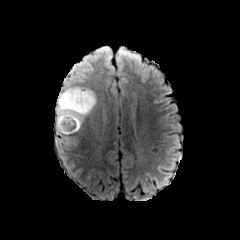
FLAIR MR.
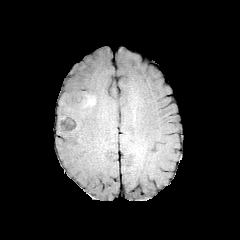
Same slice, T1-weighted MR image.
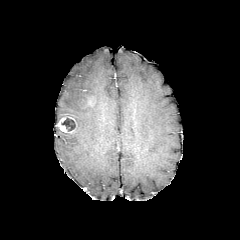
Same slice, post-contrast T1-weighted MR image.
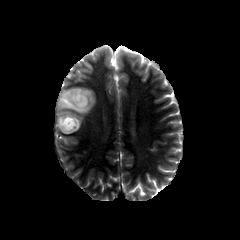
Same slice, T2-weighted MR.
Image size 240x240; Brain; Axial plane
necrotic tumor core — (left=61, top=118, right=75, bottom=131)
peritumoral edema — (left=55, top=85, right=96, bottom=133), (left=55, top=125, right=70, bottom=136)
enhancing tumor — (left=56, top=114, right=76, bottom=133)